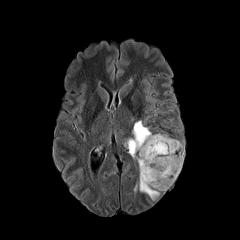
FLAIR MR image.
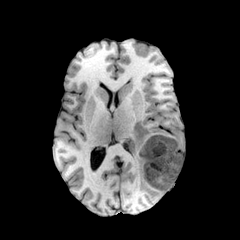
Same slice, T1-weighted MR image.
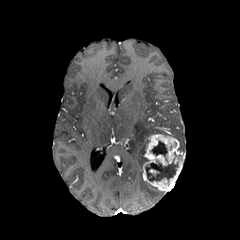
Post-contrast T1-weighted MR image of the same slice.
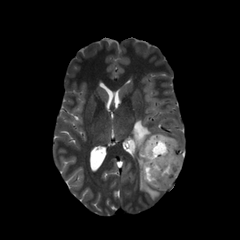
T2-weighted MR.
Brain
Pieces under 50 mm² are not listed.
The largest peritumoral edema region is at (x1=128, y1=120, x2=161, y2=200). The largest enhancing tumor region is located at (x1=142, y1=134, x2=184, y2=192). 2 necrotic tumor core regions appear at (x1=151, y1=141, x2=167, y2=156), (x1=145, y1=161, x2=177, y2=181).